Brain. Axial view. 240x240 px.
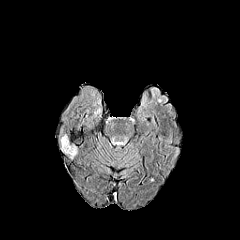
FLAIR magnetic resonance.
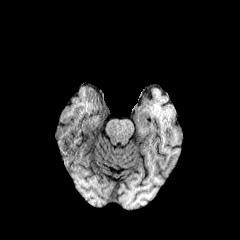
T1-weighted MRI of the same slice.
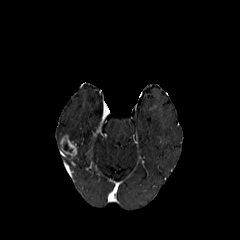
Post-contrast T1-weighted MR image of the same slice.
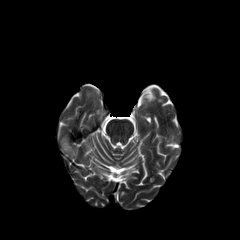
T2-weighted magnetic resonance.
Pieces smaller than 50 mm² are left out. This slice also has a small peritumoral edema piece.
necrotic tumor core: bounding box 63 142 72 152
enhancing tumor: bounding box 60 135 77 158